Image width 240 mm, 1.00 mm slice spacing.
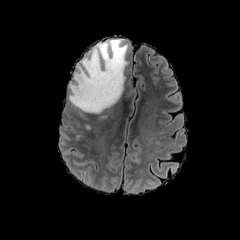
FLAIR MR image.
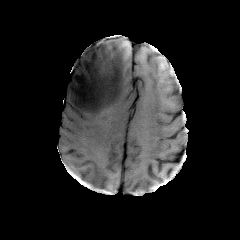
T1-weighted magnetic resonance.
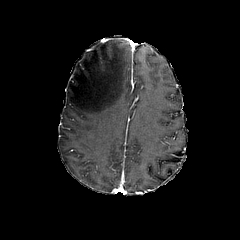
Post-contrast T1-weighted MRI of the same slice.
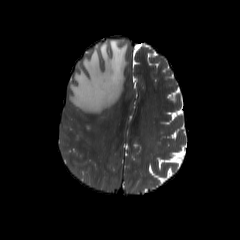
T2-weighted magnetic resonance of the same slice.
The peritumoral edema is located at [68,39,128,113].